FLAIR MR.
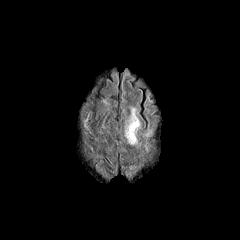
T1-weighted MR image.
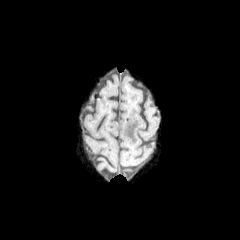
Post-contrast T1-weighted magnetic resonance.
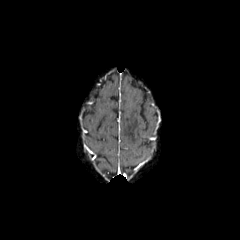
T2-weighted MR image.
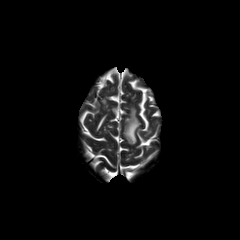
Brain, Axial plane
{"peritumoral_edema": ["125,108,140,144"]}